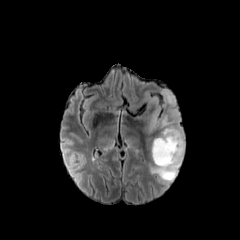
FLAIR MRI.
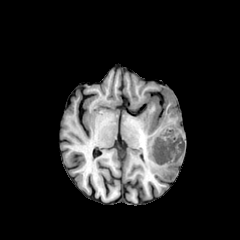
Same slice, T1-weighted MR.
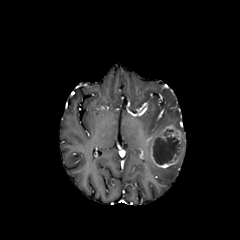
Post-contrast T1-weighted magnetic resonance of the same slice.
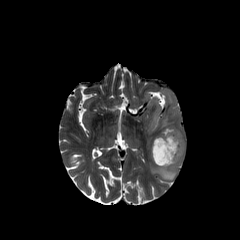
T2-weighted MR.
240x240 px | Brain
necrotic tumor core = [153, 129, 182, 164]
peritumoral edema = [150, 157, 182, 181], [141, 87, 184, 141]
enhancing tumor = [150, 125, 184, 168]